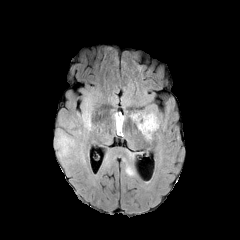
FLAIR MR.
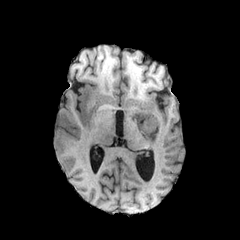
T1-weighted MR.
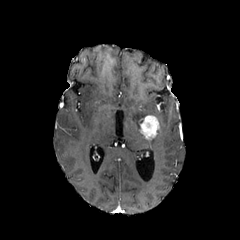
Post-contrast T1-weighted MRI.
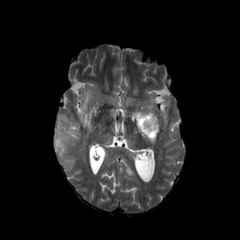
T2-weighted MRI.
Image size 240x240.
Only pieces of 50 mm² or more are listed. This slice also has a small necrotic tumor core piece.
{
  "peritumoral_edema": [
    "(x1=131, y1=109, x2=158, y2=130)",
    "(x1=124, y1=164, x2=134, y2=176)",
    "(x1=55, y1=115, x2=85, y2=163)",
    "(x1=80, y1=94, x2=92, y2=130)"
  ],
  "enhancing_tumor": [
    "(x1=139, y1=115, x2=159, y2=140)"
  ]
}